FLAIR MR.
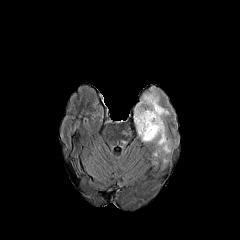
T1-weighted MRI.
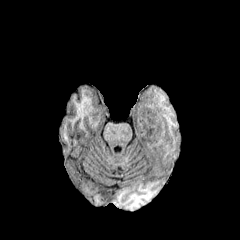
Post-contrast T1-weighted magnetic resonance.
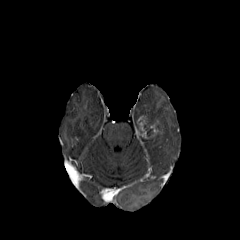
T2-weighted MR.
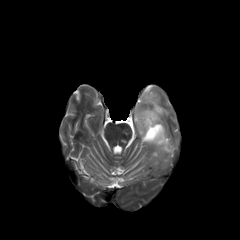
Head
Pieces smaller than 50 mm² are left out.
Annotated regions:
• necrotic tumor core: (x1=144, y1=120, x2=153, y2=137)
• peritumoral edema: (x1=122, y1=124, x2=131, y2=135), (x1=133, y1=87, x2=173, y2=157)
• enhancing tumor: (x1=137, y1=115, x2=149, y2=138), (x1=150, y1=120, x2=160, y2=137)